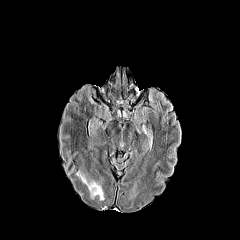
FLAIR MR image.
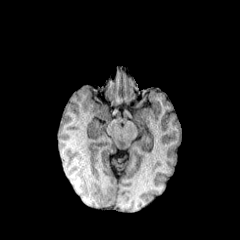
T1-weighted MR.
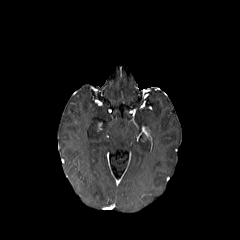
Same slice, post-contrast T1-weighted MR.
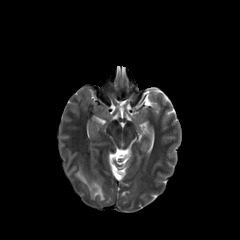
Same slice, T2-weighted MR.
Head; 240x240
The peritumoral edema is located at x1=76 y1=171 x2=104 y2=200.